Brain; 240x240; Axial slice
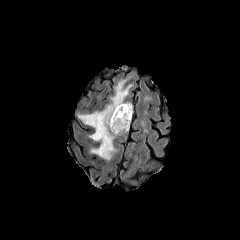
FLAIR MR image.
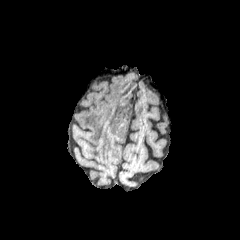
Same slice, T1-weighted MRI.
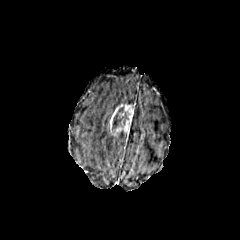
Same slice, post-contrast T1-weighted MR image.
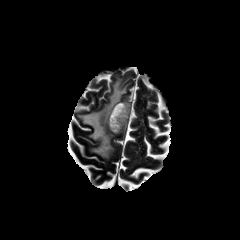
T2-weighted MR of the same slice.
enhancing tumor: l=108, t=104, r=133, b=135
necrotic tumor core: l=112, t=107, r=128, b=128
peritumoral edema: l=78, t=80, r=130, b=161